FLAIR MR image.
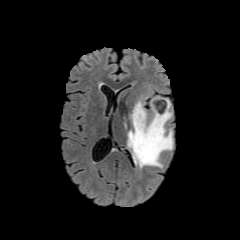
T1-weighted MR.
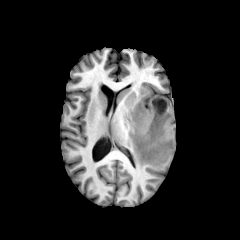
Post-contrast T1-weighted MR image.
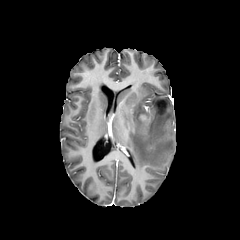
T2-weighted MRI.
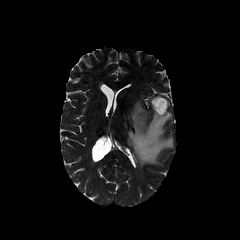
Axial slice | 240x240 px
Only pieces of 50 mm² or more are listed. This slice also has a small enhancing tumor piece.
Annotated regions:
* peritumoral edema: x1=127, y1=98, x2=173, y2=168